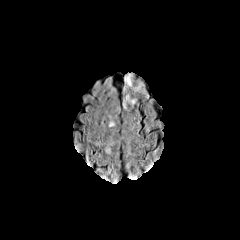
FLAIR magnetic resonance.
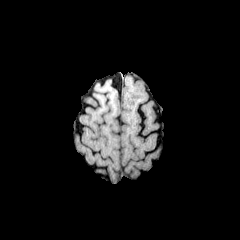
T1-weighted magnetic resonance.
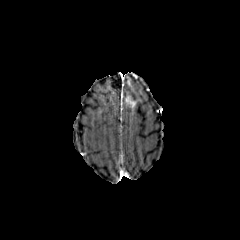
Post-contrast T1-weighted MR.
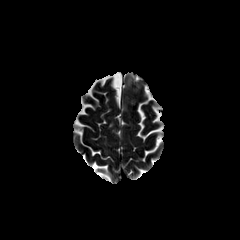
T2-weighted MR of the same slice.
Axial plane; Head
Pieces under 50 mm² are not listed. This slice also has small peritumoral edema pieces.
enhancing tumor: bounding box bbox=[126, 96, 135, 105]